FLAIR magnetic resonance.
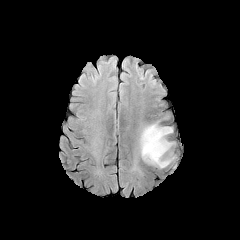
T1-weighted MR image.
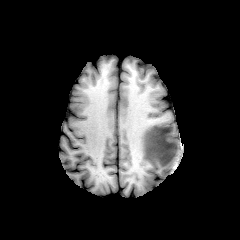
Post-contrast T1-weighted MR.
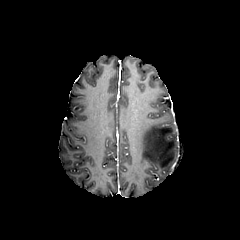
T2-weighted MRI.
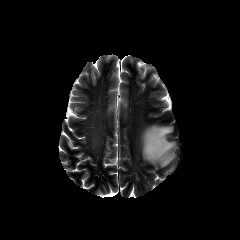
Brain | Image size 240x240
The peritumoral edema is bounded by [140,124,175,167].